240x240
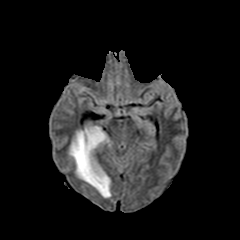
FLAIR MRI.
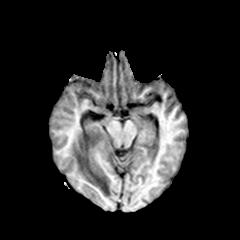
Same slice, T1-weighted MR image.
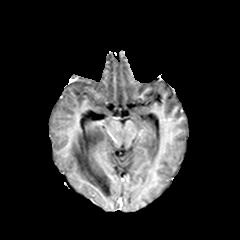
Post-contrast T1-weighted MR.
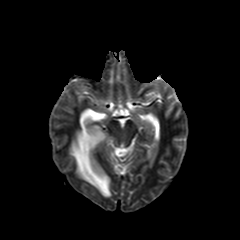
T2-weighted MRI.
peritumoral edema: bbox=[69, 126, 111, 197]